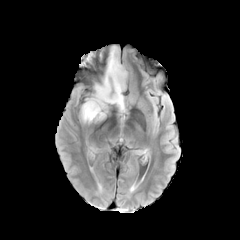
FLAIR MR image.
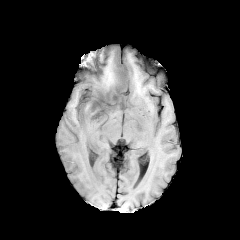
T1-weighted MR image.
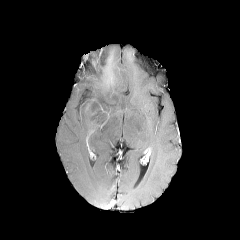
Post-contrast T1-weighted MR.
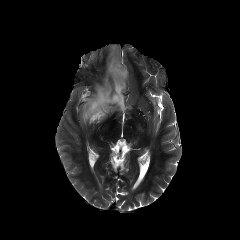
T2-weighted MRI.
240x240, Brain
The peritumoral edema appears at (x1=81, y1=46, x2=127, y2=122).